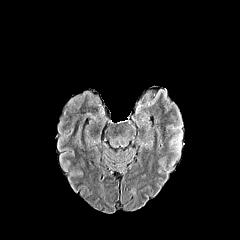
FLAIR MR.
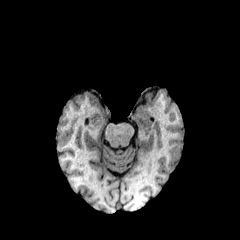
T1-weighted MRI of the same slice.
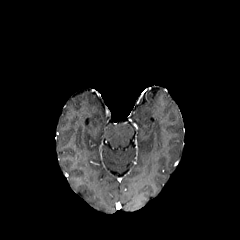
Post-contrast T1-weighted MRI.
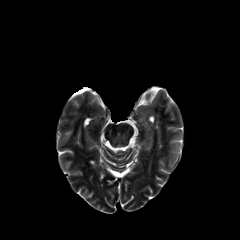
T2-weighted magnetic resonance of the same slice.
Axial plane | Head
peritumoral edema at rect(171, 123, 182, 153)